Slice 53 of 155, Head
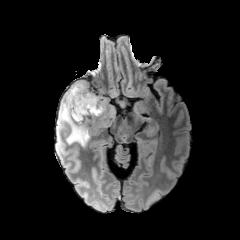
FLAIR MR image.
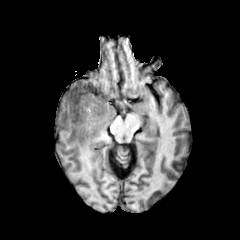
T1-weighted MR image.
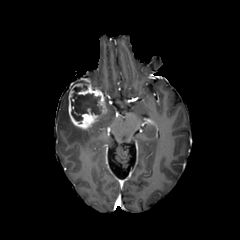
Same slice, post-contrast T1-weighted magnetic resonance.
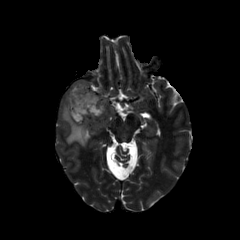
Same slice, T2-weighted magnetic resonance.
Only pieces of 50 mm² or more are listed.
enhancing tumor = box=[68, 81, 107, 129]
peritumoral edema = box=[59, 89, 89, 146]
necrotic tumor core = box=[71, 85, 101, 121]